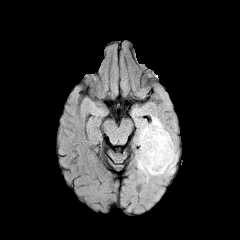
FLAIR magnetic resonance.
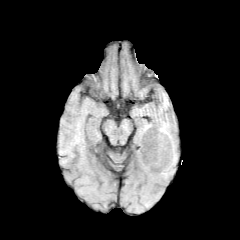
T1-weighted MRI.
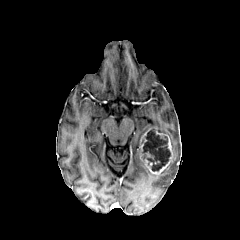
Post-contrast T1-weighted MR image.
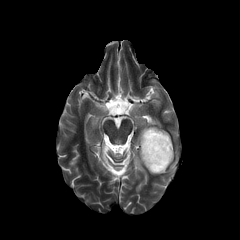
T2-weighted MR of the same slice.
Axial view
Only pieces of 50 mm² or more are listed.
necrotic tumor core: bounding box bbox=[142, 129, 170, 171]
peritumoral edema: bounding box bbox=[136, 116, 177, 174]; bbox=[136, 148, 159, 179]
enhancing tumor: bounding box bbox=[140, 127, 173, 174]